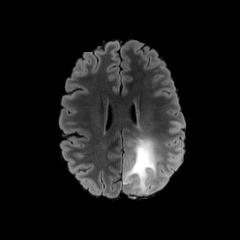
FLAIR MR.
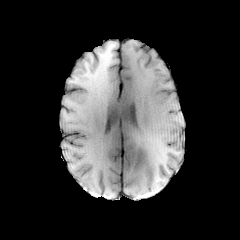
T1-weighted MRI of the same slice.
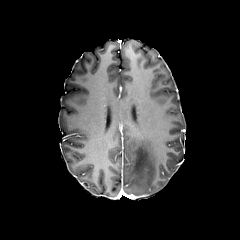
Post-contrast T1-weighted MR.
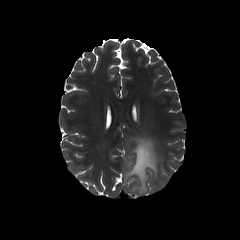
T2-weighted MRI.
peritumoral_edema:
  - 123 137 169 194